FLAIR MR image.
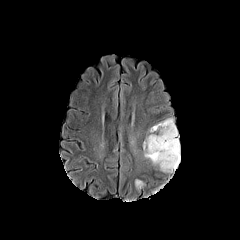
T1-weighted MRI.
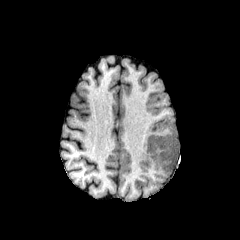
Post-contrast T1-weighted MR.
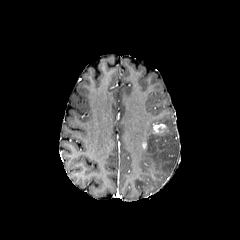
T2-weighted MR image.
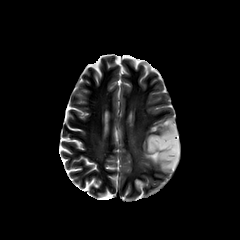
240x240, Axial slice, Head
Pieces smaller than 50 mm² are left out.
peritumoral edema: x1=135, y1=179, x2=146, y2=189; x1=143, y1=118, x2=180, y2=173 | enhancing tumor: x1=153, y1=123, x2=166, y2=133